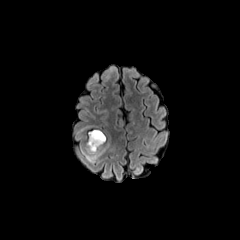
FLAIR magnetic resonance.
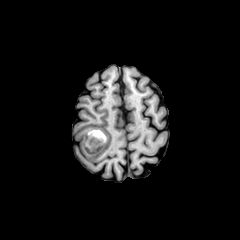
T1-weighted MR image.
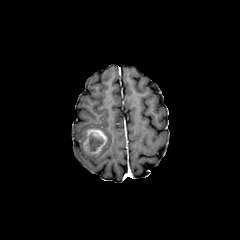
Same slice, post-contrast T1-weighted MR.
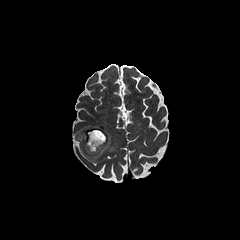
T2-weighted magnetic resonance.
Axial plane
enhancing tumor = bbox(83, 129, 106, 155)
necrotic tumor core = bbox(88, 134, 103, 151)
peritumoral edema = bbox(81, 142, 113, 161); bbox(78, 126, 91, 137)